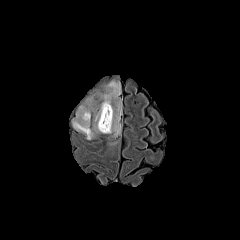
FLAIR MRI.
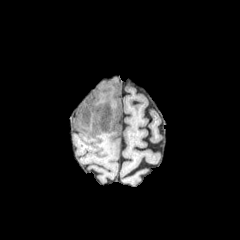
T1-weighted magnetic resonance of the same slice.
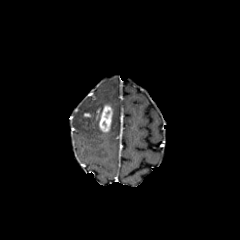
Post-contrast T1-weighted magnetic resonance.
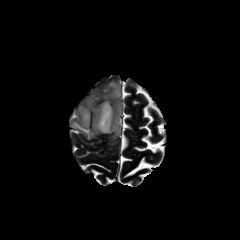
T2-weighted magnetic resonance.
Head; Axial plane
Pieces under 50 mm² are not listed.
The largest peritumoral edema region is bounded by 72, 80, 121, 139. The largest enhancing tumor region appears at 96, 104, 112, 132.